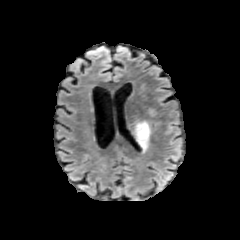
FLAIR magnetic resonance.
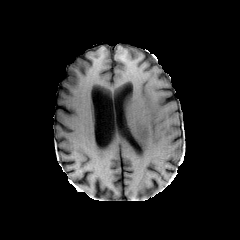
Same slice, T1-weighted magnetic resonance.
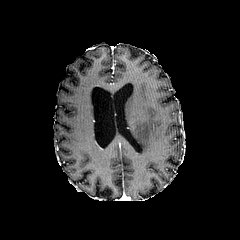
Post-contrast T1-weighted MRI.
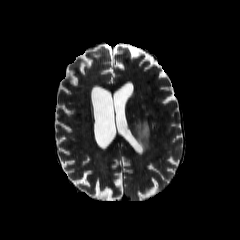
T2-weighted MR.
Axial view
peritumoral edema: (128,116,150,154)